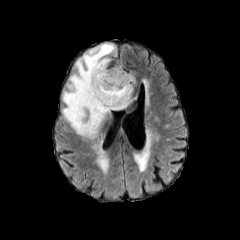
FLAIR MR.
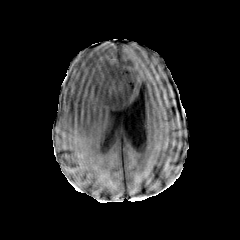
T1-weighted MR.
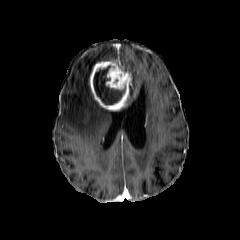
Post-contrast T1-weighted MR.
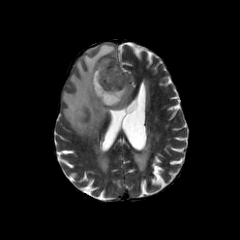
T2-weighted magnetic resonance.
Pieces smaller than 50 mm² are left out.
The 2 largest peritumoral edema regions appear at bbox=[128, 72, 136, 105]; bbox=[62, 43, 120, 137]. The necrotic tumor core lies within bbox=[93, 66, 124, 104]. The enhancing tumor is at bbox=[89, 60, 131, 110].